Axial view. 240x240 px. Brain.
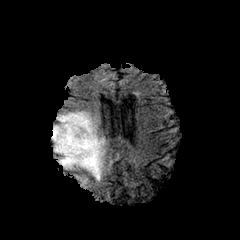
FLAIR MRI.
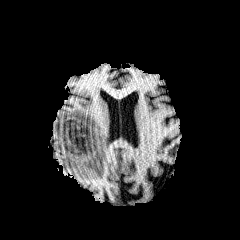
Same slice, T1-weighted magnetic resonance.
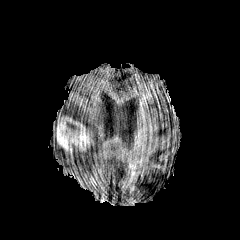
Same slice, post-contrast T1-weighted MR.
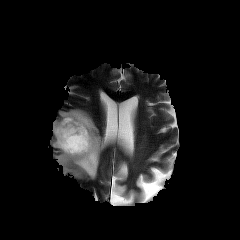
Same slice, T2-weighted MR image.
peritumoral_edema:
  - 52 109 100 182
enhancing_tumor:
  - 55 116 93 160
necrotic_tumor_core:
  - 66 122 76 129